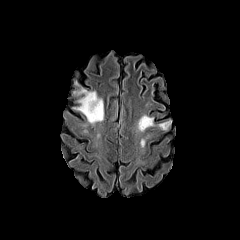
FLAIR MR.
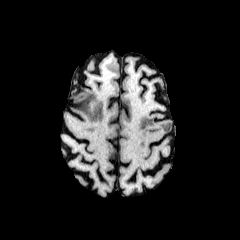
Same slice, T1-weighted magnetic resonance.
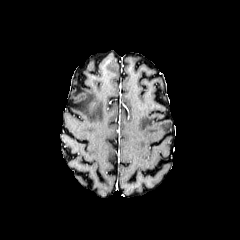
Same slice, post-contrast T1-weighted magnetic resonance.
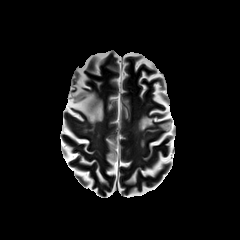
T2-weighted MR image of the same slice.
Brain; 240x240 px
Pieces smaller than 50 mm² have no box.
Annotated regions:
• peritumoral edema: <box>72,80,104,123</box>, <box>137,115,154,132</box>, <box>157,119,171,129</box>